FLAIR MR image.
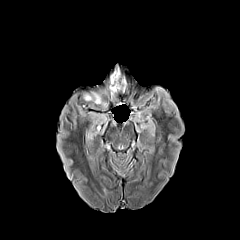
T1-weighted magnetic resonance.
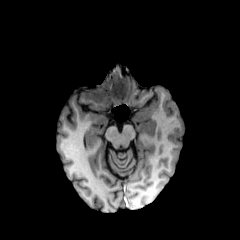
Post-contrast T1-weighted magnetic resonance.
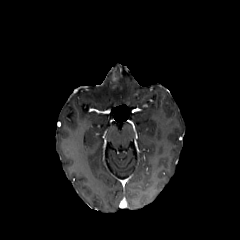
T2-weighted MRI.
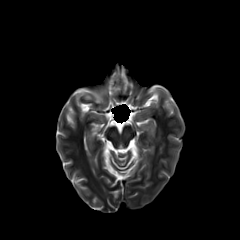
Head.
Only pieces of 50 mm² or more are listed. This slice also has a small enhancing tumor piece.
peritumoral edema: bounding box [108, 67, 120, 99], [84, 92, 102, 103]